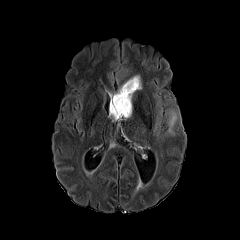
FLAIR magnetic resonance.
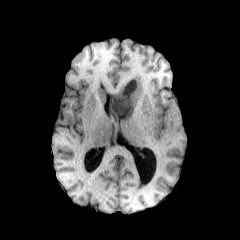
T1-weighted MR image.
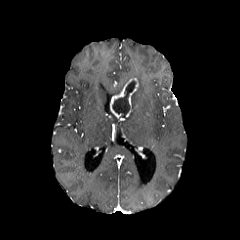
Same slice, post-contrast T1-weighted MRI.
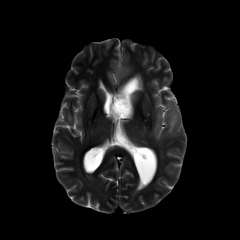
T2-weighted MR image.
Brain
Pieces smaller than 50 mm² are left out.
necrotic tumor core: <bbox>109, 80, 135, 120</bbox> | peritumoral edema: <bbox>166, 109, 179, 135</bbox>, <bbox>133, 75, 141, 89</bbox> | enhancing tumor: <bbox>110, 78, 138, 118</bbox>